FLAIR MRI.
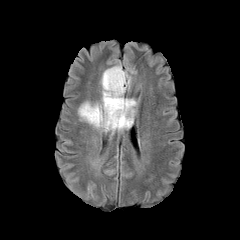
T1-weighted MR image.
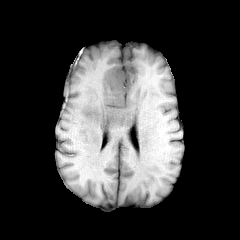
Post-contrast T1-weighted MR image.
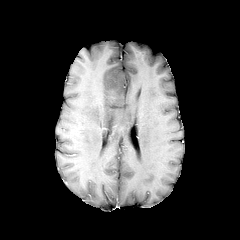
T2-weighted MRI.
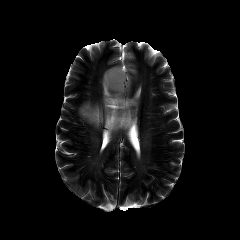
Axial plane, Brain, Image size 240x240
peritumoral edema: (78,64,137,134)